Axial view | Head
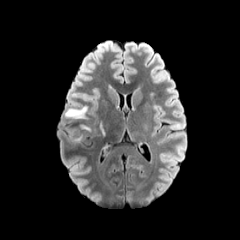
FLAIR MRI.
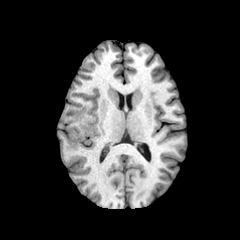
T1-weighted MR.
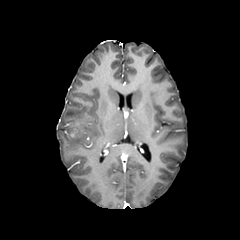
Post-contrast T1-weighted MRI of the same slice.
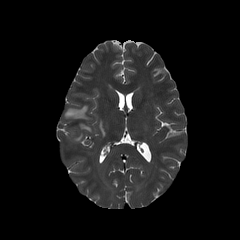
T2-weighted MRI.
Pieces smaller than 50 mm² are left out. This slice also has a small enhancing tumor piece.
The 3 largest peritumoral edema regions are bounded by 68:129:81:141, 99:120:107:137, 65:106:87:118.